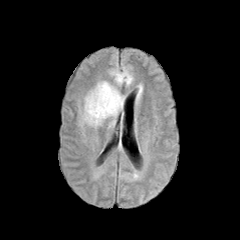
FLAIR MR image.
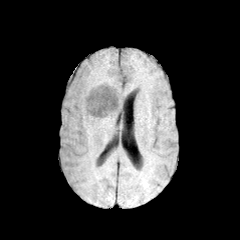
T1-weighted magnetic resonance.
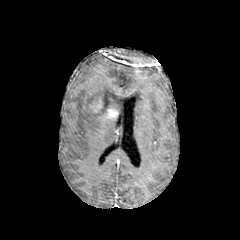
Post-contrast T1-weighted magnetic resonance.
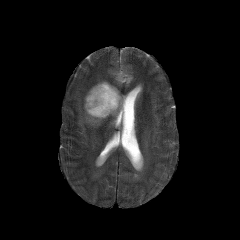
T2-weighted MR image.
Brain. 240x240.
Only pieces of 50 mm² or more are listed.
<segmentation>
  <necrotic_tumor_core>bbox=[88, 87, 117, 118]</necrotic_tumor_core>
  <enhancing_tumor>bbox=[89, 97, 102, 112]; bbox=[100, 105, 118, 118]</enhancing_tumor>
  <peritumoral_edema>bbox=[109, 67, 133, 86]; bbox=[80, 80, 125, 127]</peritumoral_edema>
</segmentation>